Head
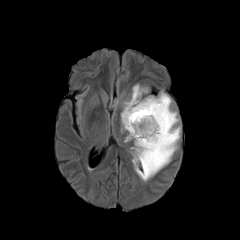
FLAIR MRI.
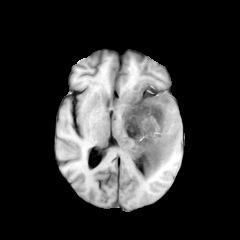
T1-weighted MR image.
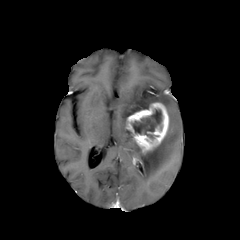
Post-contrast T1-weighted MR image.
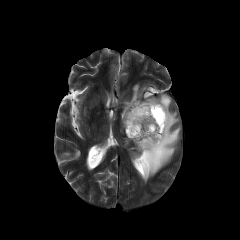
T2-weighted MR image.
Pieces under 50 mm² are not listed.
The necrotic tumor core is at [132,109,161,138]. 2 enhancing tumor regions are bounded by [125,102,169,154], [133,155,142,164]. The largest peritumoral edema region appears at [121,84,180,181].